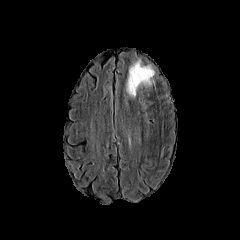
FLAIR MRI.
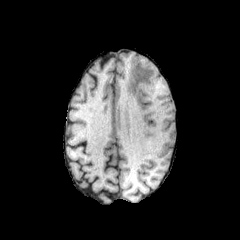
Same slice, T1-weighted MRI.
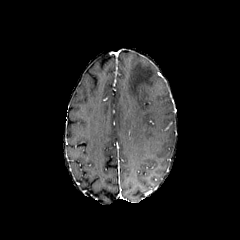
Same slice, post-contrast T1-weighted MR.
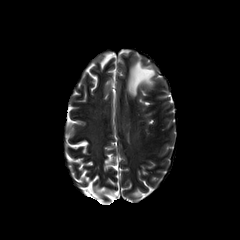
Same slice, T2-weighted MRI.
240x240 px
peritumoral edema at (left=126, top=60, right=154, bottom=97)